FLAIR MRI.
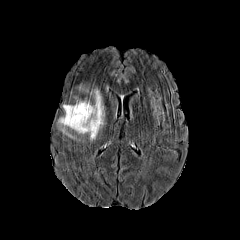
T1-weighted MR.
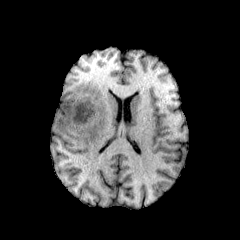
Post-contrast T1-weighted MR image.
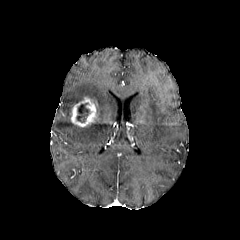
T2-weighted MRI.
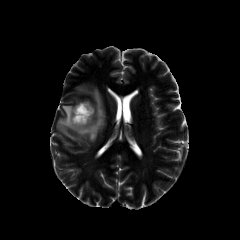
240x240; Brain
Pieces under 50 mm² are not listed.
peritumoral edema at x1=58, y1=88, x2=104, y2=141
necrotic tumor core at x1=77, y1=104, x2=88, y2=121
enhancing tumor at x1=70, y1=97, x2=97, y2=127